Head
FLAIR MRI.
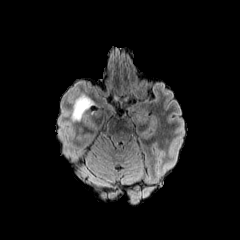
T1-weighted MRI.
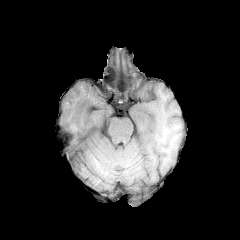
Post-contrast T1-weighted magnetic resonance.
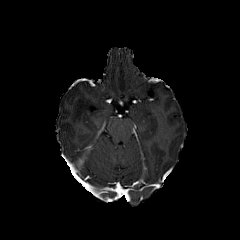
T2-weighted MR image.
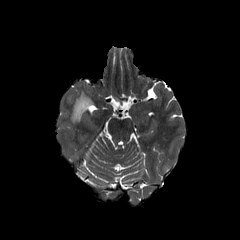
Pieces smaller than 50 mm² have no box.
peritumoral_edema:
  - 72 93 93 121